Brain; Axial plane; 240x240
FLAIR MR image.
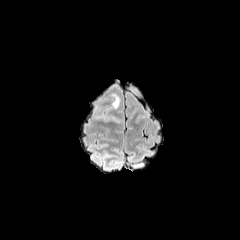
T1-weighted MR image.
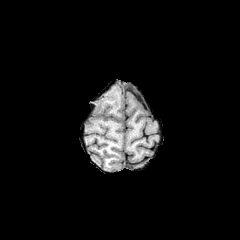
Post-contrast T1-weighted MR image.
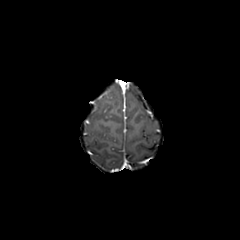
T2-weighted MRI.
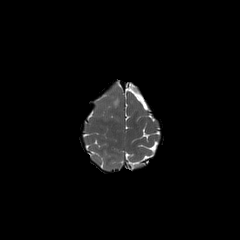
The peritumoral edema is bounded by bbox(112, 94, 119, 108).